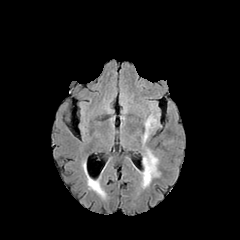
FLAIR MR.
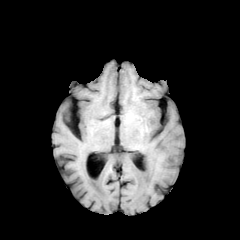
T1-weighted MR image.
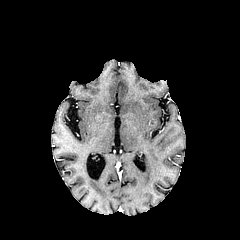
Post-contrast T1-weighted MR image.
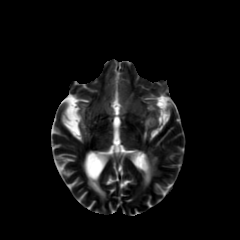
T2-weighted MR of the same slice.
240x240
2 peritumoral edema regions are located at bbox=[143, 116, 155, 142]; bbox=[143, 151, 157, 187].